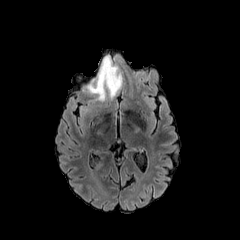
FLAIR MR.
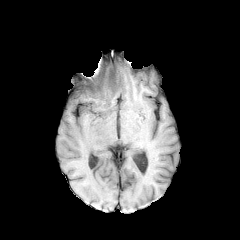
T1-weighted magnetic resonance.
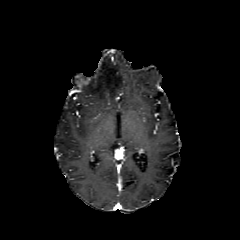
Same slice, post-contrast T1-weighted MRI.
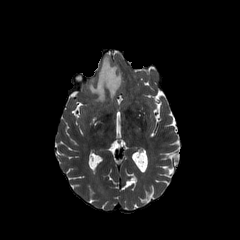
T2-weighted MRI.
Axial view
peritumoral edema: (left=84, top=56, right=122, bottom=101)